FLAIR magnetic resonance.
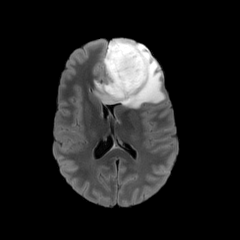
T1-weighted magnetic resonance.
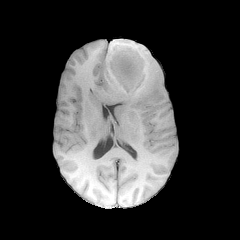
Post-contrast T1-weighted MR.
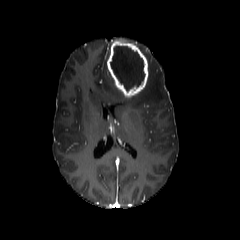
T2-weighted MR image.
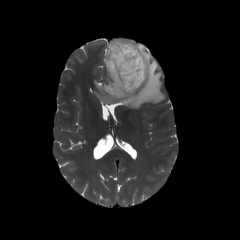
Axial slice. 240x240. Head.
{
  "peritumoral_edema": [
    "[91,39,165,108]"
  ],
  "enhancing_tumor": [
    "[107,39,148,97]"
  ],
  "necrotic_tumor_core": [
    "[110,46,144,91]"
  ]
}